Axial view; Head
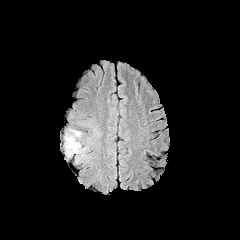
FLAIR MR image.
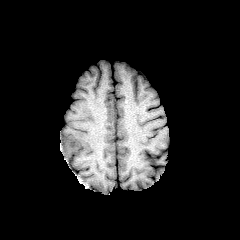
T1-weighted MRI of the same slice.
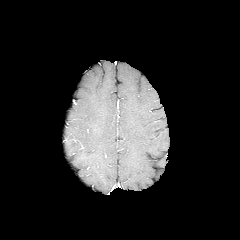
Same slice, post-contrast T1-weighted MRI.
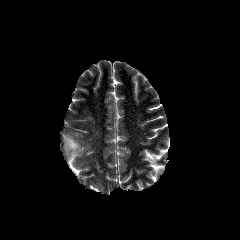
T2-weighted MR image.
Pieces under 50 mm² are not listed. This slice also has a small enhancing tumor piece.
peritumoral_edema:
  - 63:129:88:162